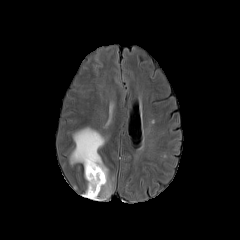
FLAIR MR.
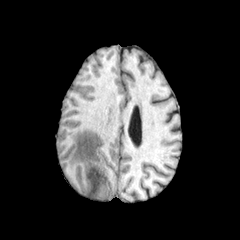
T1-weighted MR.
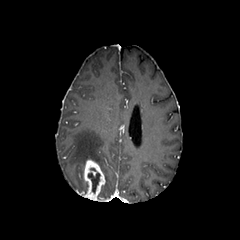
Post-contrast T1-weighted MRI of the same slice.
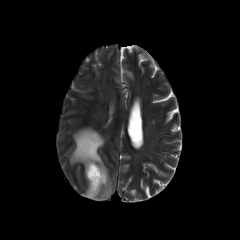
T2-weighted MR.
Brain
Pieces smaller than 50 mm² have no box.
necrotic_tumor_core:
  - (88, 172, 100, 193)
enhancing_tumor:
  - (83, 159, 105, 200)
peritumoral_edema:
  - (70, 127, 112, 200)